FLAIR MRI.
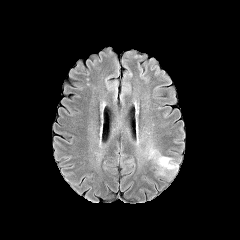
T1-weighted MR.
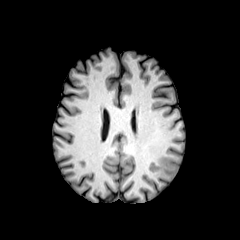
Post-contrast T1-weighted MR.
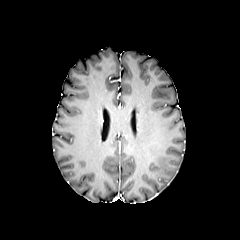
T2-weighted magnetic resonance.
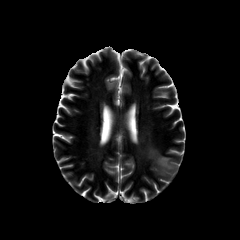
Axial plane | Head
peritumoral edema: bounding box box(147, 147, 178, 178)